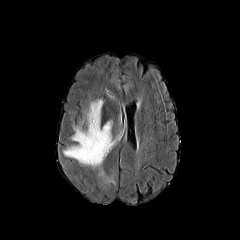
FLAIR magnetic resonance.
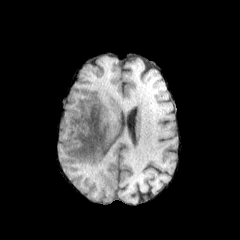
Same slice, T1-weighted MRI.
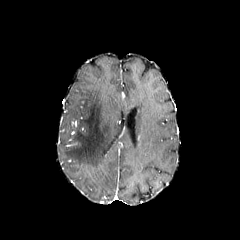
Post-contrast T1-weighted MR.
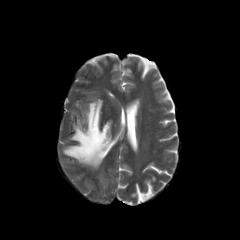
T2-weighted MR of the same slice.
Brain
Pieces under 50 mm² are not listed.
The 2 largest peritumoral edema regions appear at box=[63, 99, 124, 167]; box=[97, 169, 115, 185].